Axial slice. Slice 89/155. Brain.
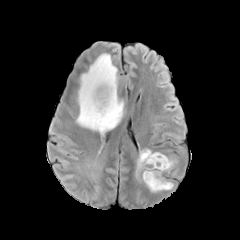
FLAIR magnetic resonance.
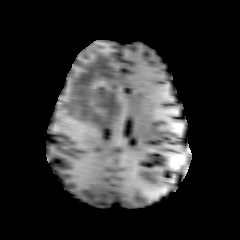
T1-weighted MR image.
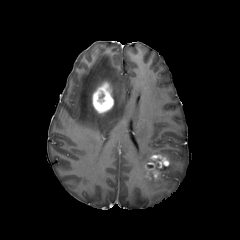
Post-contrast T1-weighted MR image.
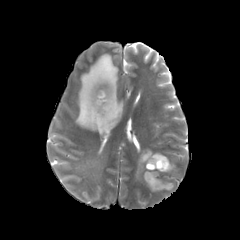
T2-weighted magnetic resonance.
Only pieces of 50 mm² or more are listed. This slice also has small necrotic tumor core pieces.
peritumoral_edema:
  - 76,53,124,134
  - 136,149,178,191
enhancing_tumor:
  - 145,154,169,179
  - 92,82,114,113